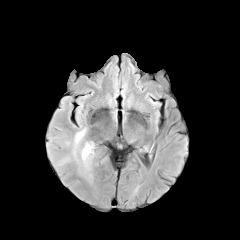
FLAIR MR.
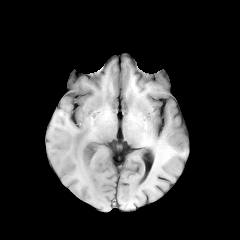
T1-weighted MR image.
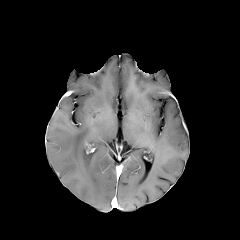
Post-contrast T1-weighted MR.
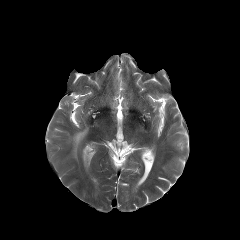
T2-weighted magnetic resonance.
Image size 240x240, Brain, Axial view
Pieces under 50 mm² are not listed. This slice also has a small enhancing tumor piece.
peritumoral edema = box(81, 143, 93, 167); box(74, 129, 85, 155)